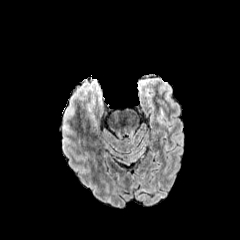
FLAIR MRI.
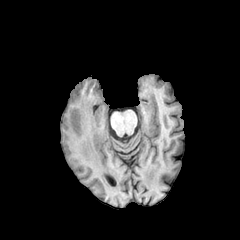
Same slice, T1-weighted MR.
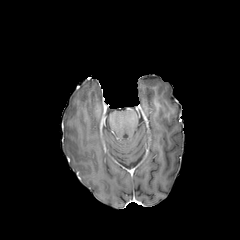
Post-contrast T1-weighted magnetic resonance.
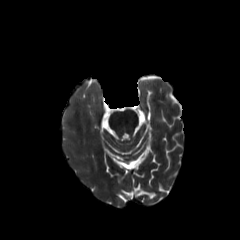
T2-weighted MRI of the same slice.
Axial slice | Image size 240x240
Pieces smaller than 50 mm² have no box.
<segmentation>
  <peritumoral_edema>(left=96, top=102, right=104, bottom=112)</peritumoral_edema>
</segmentation>